Head. Axial view.
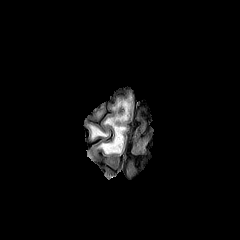
FLAIR MR image.
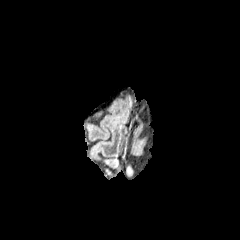
Same slice, T1-weighted MR image.
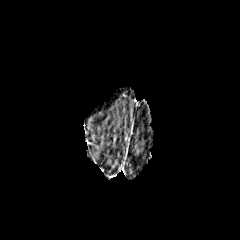
Post-contrast T1-weighted magnetic resonance.
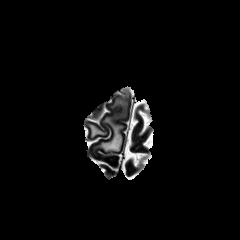
Same slice, T2-weighted MR.
Findings:
* peritumoral edema: 100, 102, 128, 153; 90, 126, 107, 137